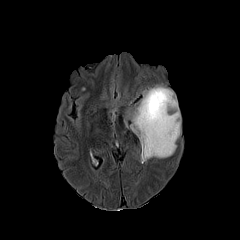
FLAIR MR image.
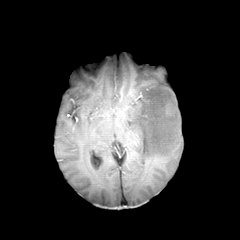
T1-weighted MRI.
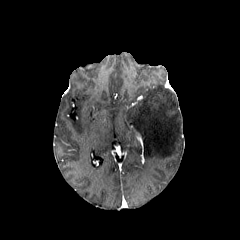
Same slice, post-contrast T1-weighted MRI.
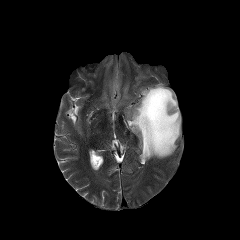
Same slice, T2-weighted MRI.
240x240 px.
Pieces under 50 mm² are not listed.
peritumoral_edema:
  - bbox(127, 85, 180, 160)